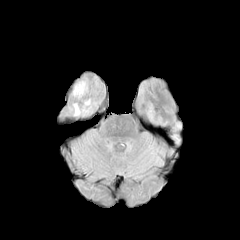
FLAIR magnetic resonance.
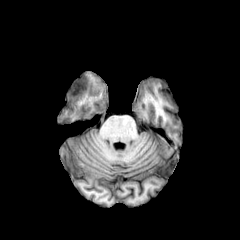
Same slice, T1-weighted MR.
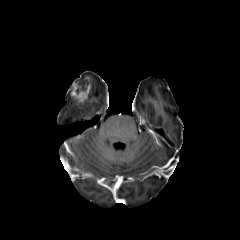
Post-contrast T1-weighted MR image.
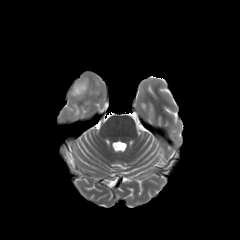
Same slice, T2-weighted MR.
Image size 240x240. Brain.
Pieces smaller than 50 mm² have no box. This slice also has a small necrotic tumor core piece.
enhancing_tumor:
  - x1=71, y1=77, x2=92, y2=99
peritumoral_edema:
  - x1=74, y1=104, x2=79, y2=115